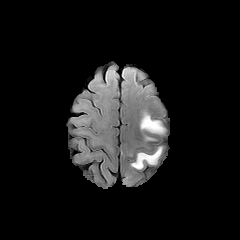
FLAIR MRI.
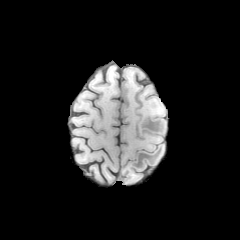
T1-weighted MR of the same slice.
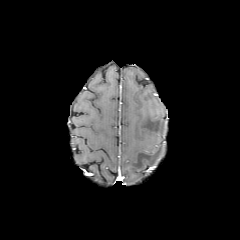
Same slice, post-contrast T1-weighted MRI.
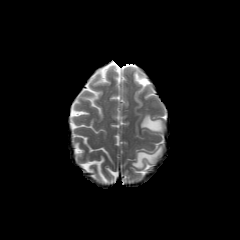
Same slice, T2-weighted MR image.
Brain. 240x240.
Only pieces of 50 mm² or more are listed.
The 2 largest peritumoral edema regions are bounded by box=[131, 147, 162, 169]; box=[140, 114, 166, 134].